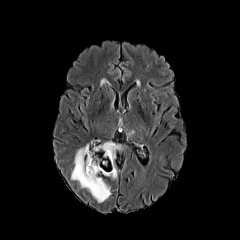
FLAIR MRI.
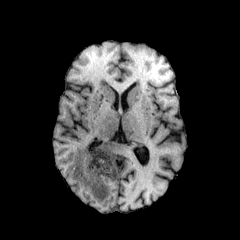
T1-weighted MR of the same slice.
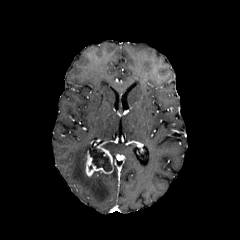
Same slice, post-contrast T1-weighted MR image.
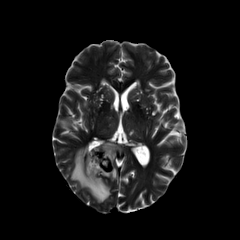
Same slice, T2-weighted MR image.
Head, Axial slice
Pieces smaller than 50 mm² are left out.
necrotic_tumor_core:
  - <box>89,148,111,171</box>
enhancing_tumor:
  - <box>85,147,113,176</box>
peritumoral_edema:
  - <box>93,140,122,179</box>
  - <box>71,143,111,202</box>